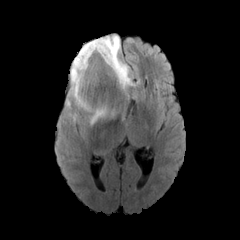
FLAIR magnetic resonance.
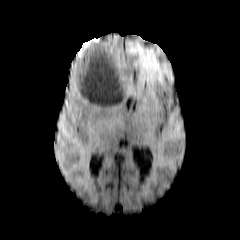
Same slice, T1-weighted MRI.
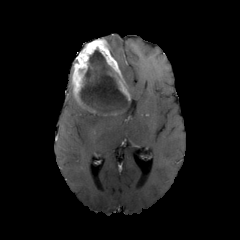
Same slice, post-contrast T1-weighted MR image.
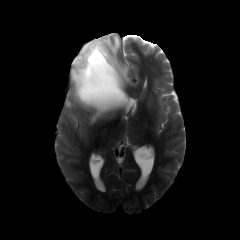
Same slice, T2-weighted MR.
Axial view
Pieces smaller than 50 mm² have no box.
peritumoral edema: bbox=[90, 113, 105, 124]; bbox=[105, 35, 140, 90]; bbox=[65, 85, 82, 108] | necrotic tumor core: bbox=[80, 50, 128, 113] | enhancing tumor: bbox=[71, 37, 130, 116]